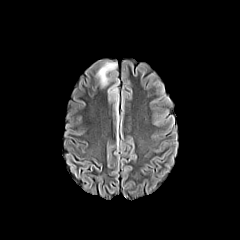
FLAIR MR.
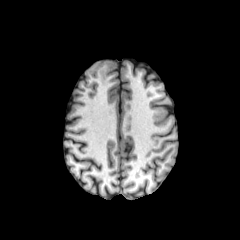
Same slice, T1-weighted MR.
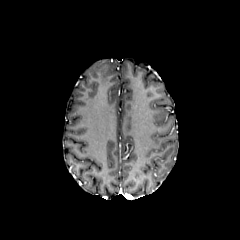
Post-contrast T1-weighted magnetic resonance.
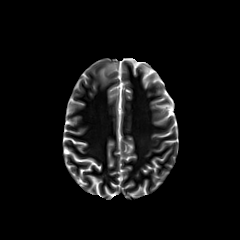
Same slice, T2-weighted MR.
Axial slice, Brain
<segmentation>
  <peritumoral_edema><box>98,62,117,86</box>, <box>108,86,117,94</box></peritumoral_edema>
</segmentation>